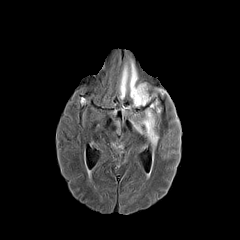
FLAIR MRI.
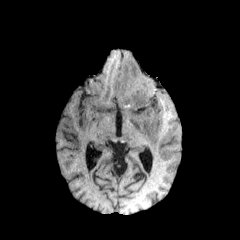
Same slice, T1-weighted MR image.
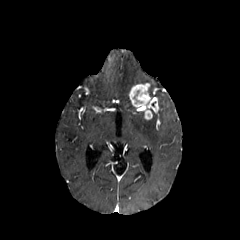
Post-contrast T1-weighted MR.
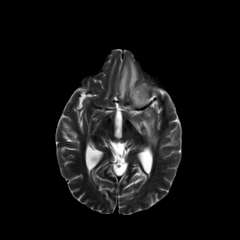
T2-weighted MR of the same slice.
Head | Axial view | 240x240
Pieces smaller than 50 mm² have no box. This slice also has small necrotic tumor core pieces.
peritumoral edema: bounding box [x1=130, y1=113, x2=158, y2=148], [x1=119, y1=58, x2=138, y2=100]
enhancing tumor: bounding box [x1=128, y1=83, x2=151, y2=108], [x1=143, y1=100, x2=158, y2=119]